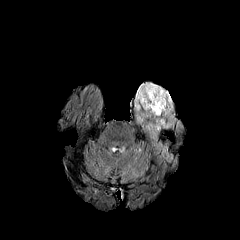
FLAIR MR.
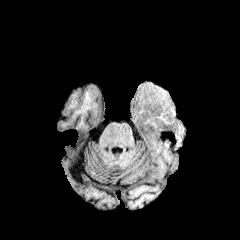
T1-weighted magnetic resonance.
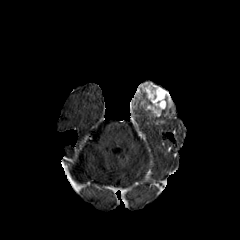
Post-contrast T1-weighted MR image.
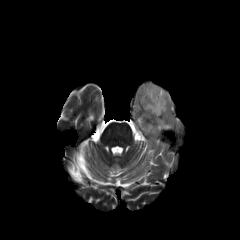
T2-weighted MRI.
Head; 240x240; Axial view
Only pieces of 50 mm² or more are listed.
The largest enhancing tumor region lies within box(133, 82, 173, 118). The largest peritumoral edema region is located at box(135, 109, 175, 139).